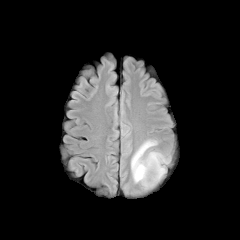
FLAIR MRI.
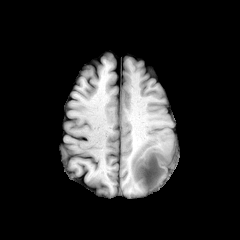
T1-weighted MRI.
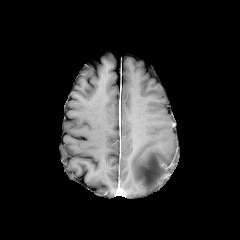
Post-contrast T1-weighted magnetic resonance.
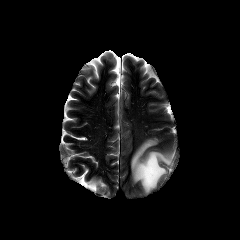
T2-weighted magnetic resonance of the same slice.
Axial plane. 240x240.
peritumoral edema: [131,140,170,191]